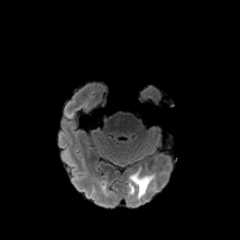
FLAIR MR.
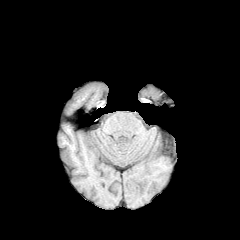
T1-weighted MR image.
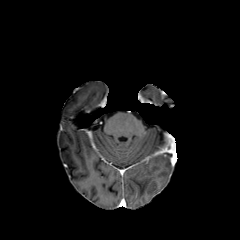
Post-contrast T1-weighted MR.
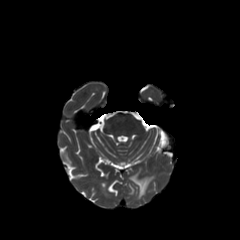
Same slice, T2-weighted MR image.
Image size 240x240, Axial view
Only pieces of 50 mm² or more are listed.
peritumoral_edema:
  - 130, 170, 154, 198